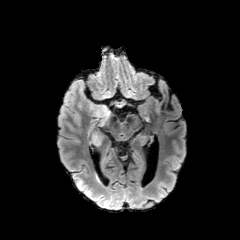
FLAIR MRI.
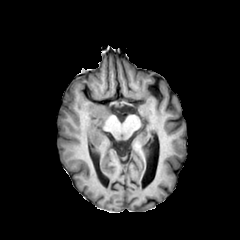
T1-weighted MR of the same slice.
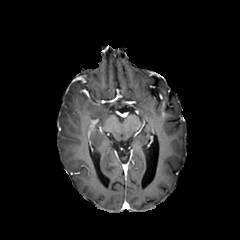
Post-contrast T1-weighted MR of the same slice.
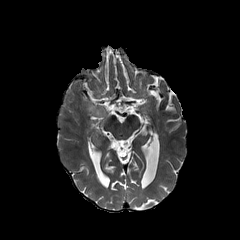
T2-weighted MR image.
Axial plane, Brain
peritumoral_edema:
  - region(63, 78, 84, 103)
  - region(87, 101, 110, 147)
  - region(61, 105, 67, 118)